240x240 px, Image width 240 mm, Head
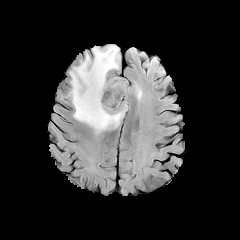
FLAIR magnetic resonance.
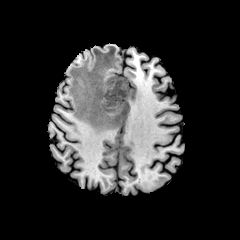
T1-weighted magnetic resonance.
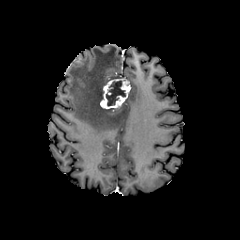
Post-contrast T1-weighted magnetic resonance.
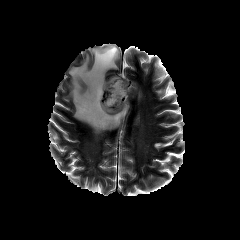
Same slice, T2-weighted magnetic resonance.
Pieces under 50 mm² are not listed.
peritumoral edema: bbox(68, 45, 127, 133); bbox(135, 84, 142, 100) | enhancing tumor: bbox(100, 79, 130, 109) | necrotic tumor core: bbox(106, 81, 125, 105)